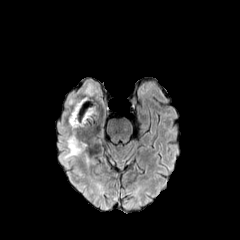
FLAIR MRI.
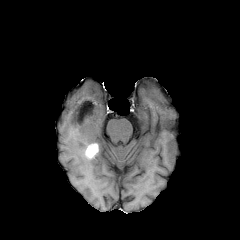
Same slice, T1-weighted MRI.
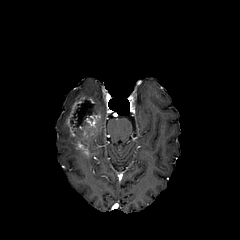
Post-contrast T1-weighted MRI.
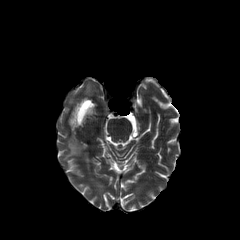
Same slice, T2-weighted MR image.
240x240
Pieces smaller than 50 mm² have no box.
necrotic tumor core: (left=77, top=99, right=93, bottom=126) | enhancing tumor: (left=67, top=97, right=103, bottom=154) | peritumoral edema: (left=94, top=182, right=102, bottom=193), (left=63, top=136, right=82, bottom=160)